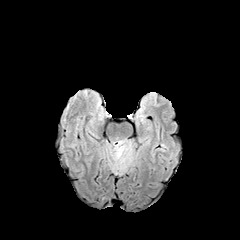
FLAIR magnetic resonance.
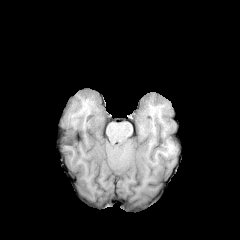
Same slice, T1-weighted MR image.
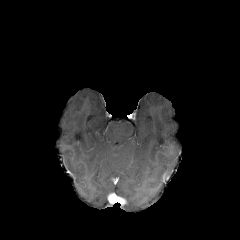
Same slice, post-contrast T1-weighted MRI.
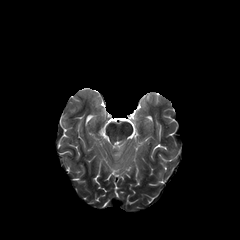
T2-weighted magnetic resonance of the same slice.
Image size 240x240; Head
<segmentation>
  <peritumoral_edema>l=112, t=140, r=133, b=171</peritumoral_edema>
</segmentation>